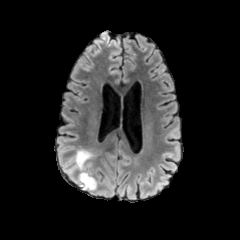
FLAIR MR.
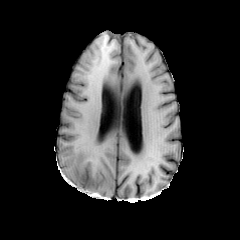
T1-weighted MR image of the same slice.
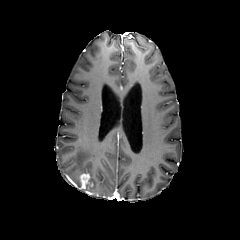
Same slice, post-contrast T1-weighted magnetic resonance.
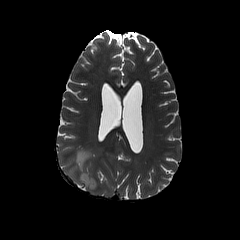
Same slice, T2-weighted magnetic resonance.
Head, 240x240
The peritumoral edema is at <bbox>65, 149, 96, 191</bbox>. The enhancing tumor is bounded by <bbox>79, 173, 93, 189</bbox>.